FLAIR MR image.
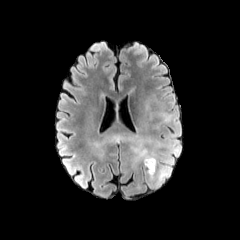
T1-weighted MR image.
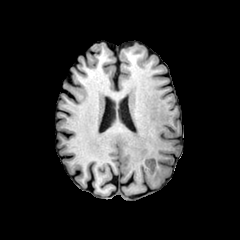
Post-contrast T1-weighted magnetic resonance.
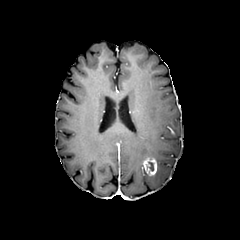
T2-weighted magnetic resonance.
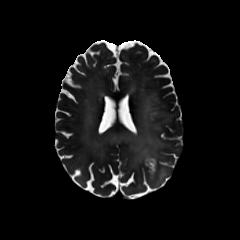
Brain.
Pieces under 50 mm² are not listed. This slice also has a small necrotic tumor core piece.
Segmented structures:
• enhancing tumor: [x1=143, y1=158, x2=156, y2=175]
• peritumoral edema: [x1=130, y1=138, x2=168, y2=185]